FLAIR magnetic resonance.
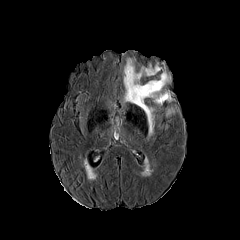
T1-weighted MR.
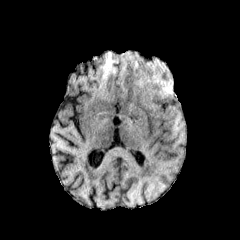
Post-contrast T1-weighted magnetic resonance.
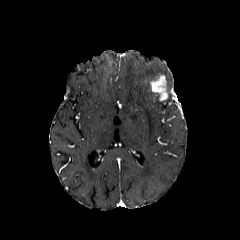
T2-weighted MR.
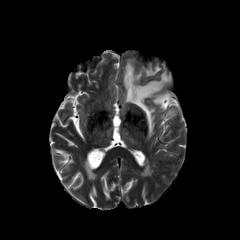
Head | Axial plane | 240x240 px
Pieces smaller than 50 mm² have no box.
The enhancing tumor appears at bbox=[150, 74, 168, 101]. The 2 largest peritumoral edema regions appear at bbox=[123, 58, 163, 136]; bbox=[161, 67, 170, 82].